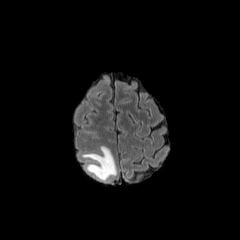
FLAIR MRI.
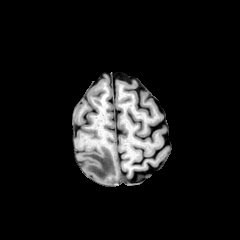
T1-weighted MRI.
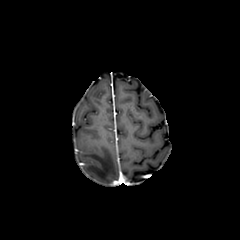
Post-contrast T1-weighted MR image.
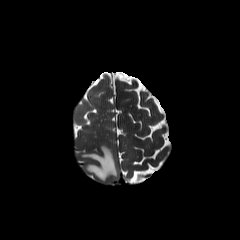
Same slice, T2-weighted magnetic resonance.
Brain; Axial slice; Image size 240x240
The peritumoral edema is bounded by {"x1": 82, "y1": 146, "x2": 116, "y2": 181}.